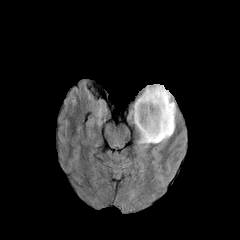
FLAIR MR.
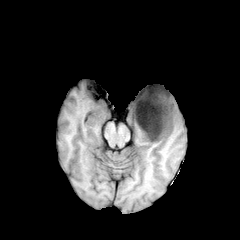
T1-weighted magnetic resonance.
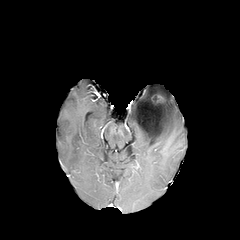
Post-contrast T1-weighted MR of the same slice.
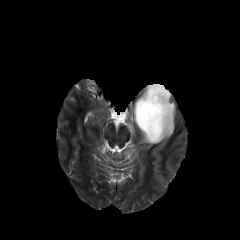
T2-weighted MR of the same slice.
240x240 px
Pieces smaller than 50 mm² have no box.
• enhancing tumor: box(151, 94, 163, 104); box(134, 86, 161, 140); box(163, 88, 172, 133)
• peritumoral edema: box(129, 84, 176, 144)
• necrotic tumor core: box(136, 87, 171, 139)